FLAIR MRI.
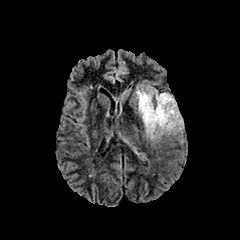
T1-weighted MR.
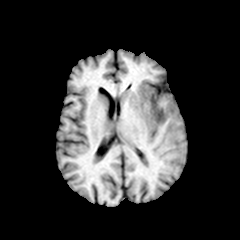
Post-contrast T1-weighted magnetic resonance.
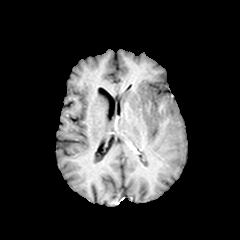
T2-weighted magnetic resonance.
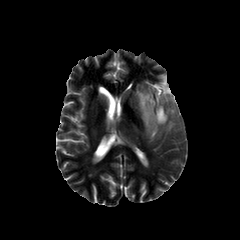
Head
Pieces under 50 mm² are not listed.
enhancing tumor = <bbox>153, 105, 167, 124</bbox>
peritumoral edema = <bbox>136, 85, 182, 139</bbox>